FLAIR MR image.
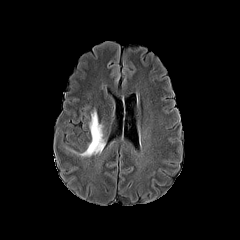
T1-weighted magnetic resonance.
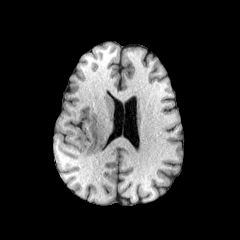
Post-contrast T1-weighted MR.
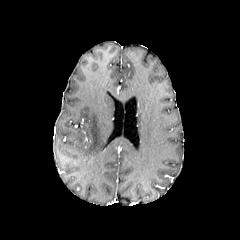
T2-weighted MRI.
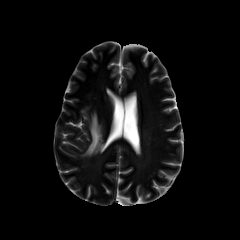
240x240
peritumoral edema — <box>79,110,105,156</box>